Axial plane, Image size 240x240
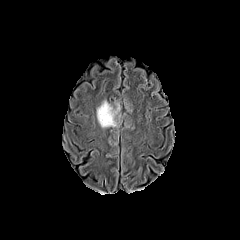
FLAIR MR.
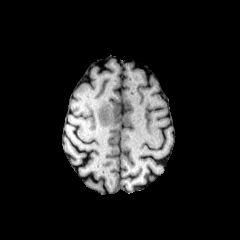
T1-weighted MRI of the same slice.
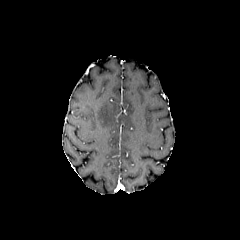
Post-contrast T1-weighted magnetic resonance.
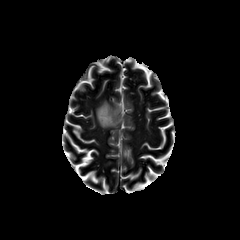
T2-weighted MR.
peritumoral edema — box(97, 101, 119, 127)